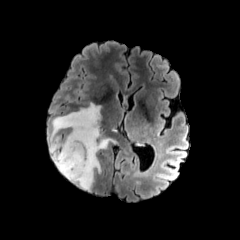
FLAIR MR.
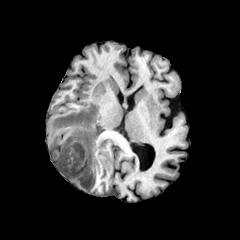
T1-weighted MR.
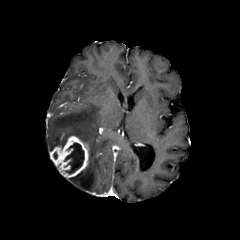
Post-contrast T1-weighted MRI of the same slice.
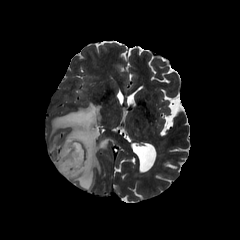
T2-weighted MR.
Brain; Axial slice
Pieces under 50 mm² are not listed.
* necrotic tumor core: (65, 143, 84, 173)
* enhancing tumor: (50, 136, 89, 178)
* peritumoral edema: (51, 103, 110, 190)